Image width 240 mm, 1.00 mm slice spacing
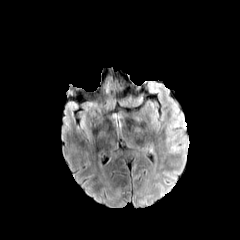
FLAIR magnetic resonance.
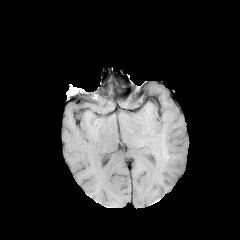
T1-weighted MR of the same slice.
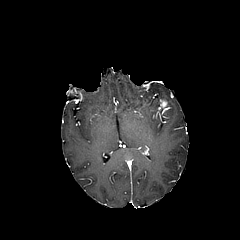
Same slice, post-contrast T1-weighted MR.
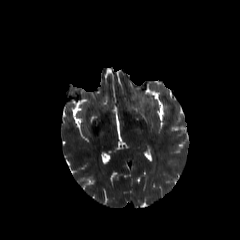
T2-weighted magnetic resonance.
<segmentation>
  <enhancing_tumor><box>160,99,169,110</box></enhancing_tumor>
</segmentation>